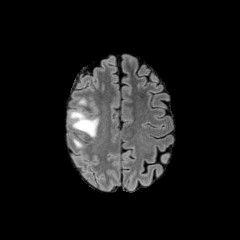
FLAIR MR.
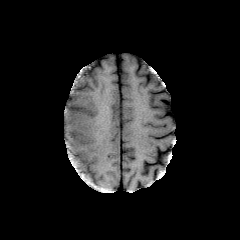
T1-weighted MR image of the same slice.
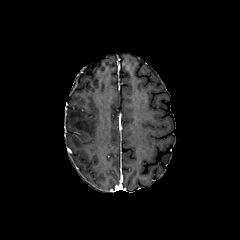
Post-contrast T1-weighted magnetic resonance of the same slice.
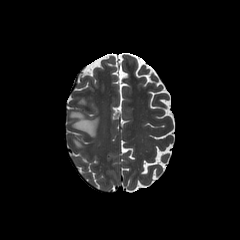
T2-weighted MRI of the same slice.
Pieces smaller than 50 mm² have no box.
The 2 largest peritumoral edema regions are bounded by {"x1": 68, "y1": 111, "x2": 98, "y2": 137}, {"x1": 72, "y1": 138, "x2": 84, "y2": 147}.